Axial slice.
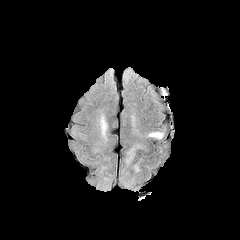
FLAIR MR.
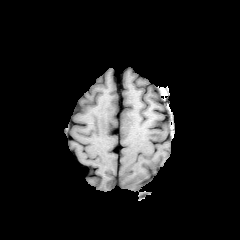
T1-weighted MRI of the same slice.
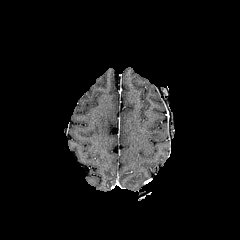
Same slice, post-contrast T1-weighted magnetic resonance.
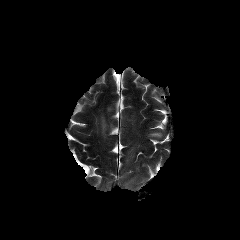
T2-weighted magnetic resonance of the same slice.
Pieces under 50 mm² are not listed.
<segmentation>
  <peritumoral_edema>region(99, 115, 107, 139); region(148, 132, 163, 138)</peritumoral_edema>
</segmentation>